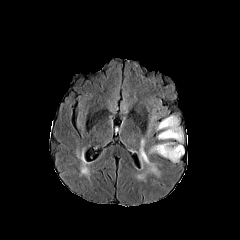
FLAIR magnetic resonance.
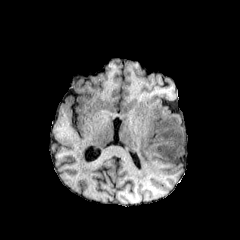
T1-weighted MRI.
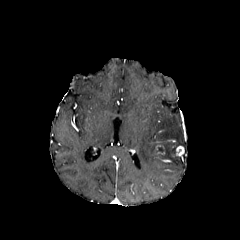
Post-contrast T1-weighted MRI.
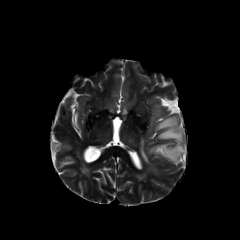
T2-weighted MR image of the same slice.
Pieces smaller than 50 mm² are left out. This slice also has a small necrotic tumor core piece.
The 3 largest peritumoral edema regions are bounded by x1=139, y1=138, x2=159, y2=174; x1=158, y1=142, x2=179, y2=162; x1=156, y1=116, x2=183, y2=142. The largest enhancing tumor region is bounded by x1=176, y1=146, x2=184, y2=156.